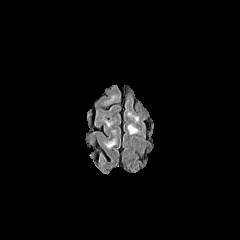
FLAIR MRI.
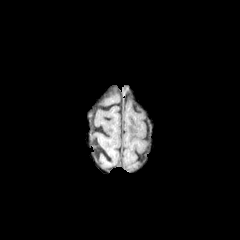
T1-weighted MRI of the same slice.
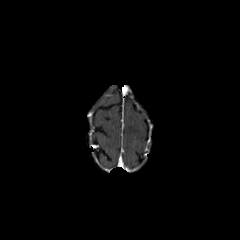
Post-contrast T1-weighted MR image of the same slice.
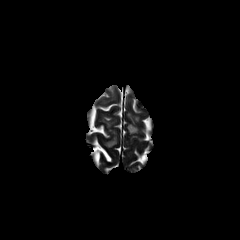
Same slice, T2-weighted MR.
Brain.
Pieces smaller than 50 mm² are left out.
peritumoral_edema:
  - rect(128, 125, 137, 133)